FLAIR MR image.
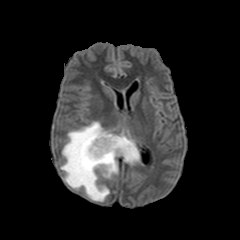
T1-weighted MR image.
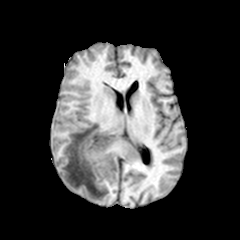
Post-contrast T1-weighted MR image.
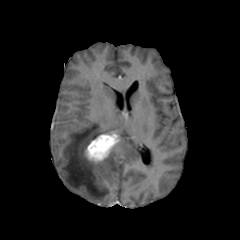
T2-weighted MRI.
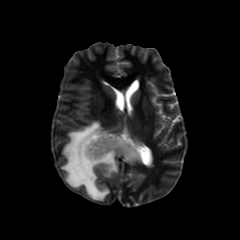
enhancing tumor — 84 132 120 163
peritumoral edema — 60 121 139 201